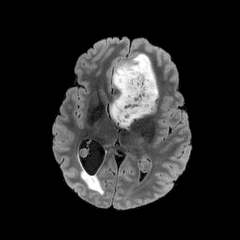
FLAIR MR.
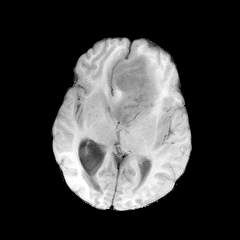
T1-weighted MR image of the same slice.
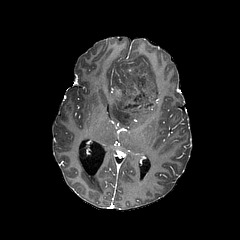
Post-contrast T1-weighted MRI of the same slice.
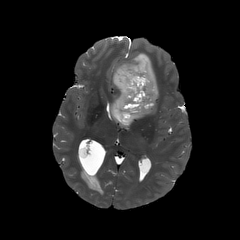
T2-weighted MR.
Axial view
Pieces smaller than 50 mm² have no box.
necrotic tumor core: [x1=114, y1=57, x2=156, y2=123] | peritumoral edema: [x1=110, y1=53, x2=158, y2=122], [x1=130, y1=109, x2=149, y2=122]